Axial slice. Brain.
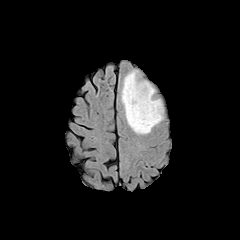
FLAIR MR image.
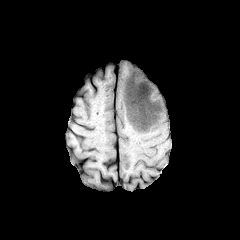
T1-weighted MRI.
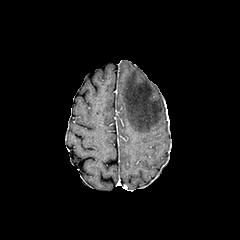
Post-contrast T1-weighted MRI of the same slice.
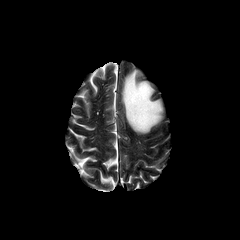
T2-weighted MR image.
peritumoral edema: l=121, t=70, r=163, b=134